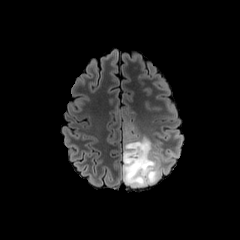
FLAIR MR.
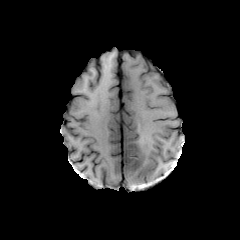
T1-weighted MR image.
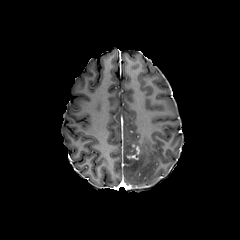
Post-contrast T1-weighted MR image.
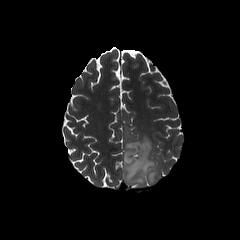
Same slice, T2-weighted MR image.
Brain | Axial slice | 240x240 px
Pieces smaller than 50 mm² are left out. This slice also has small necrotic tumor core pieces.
enhancing tumor — [127, 146, 139, 159]
peritumoral edema — [122, 134, 167, 186]